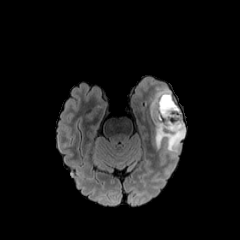
FLAIR MRI.
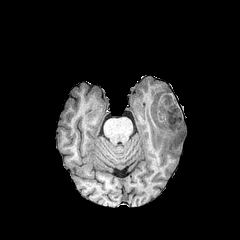
T1-weighted MR image of the same slice.
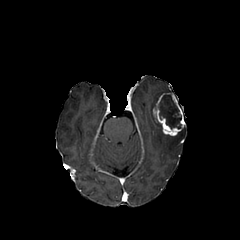
Post-contrast T1-weighted magnetic resonance.
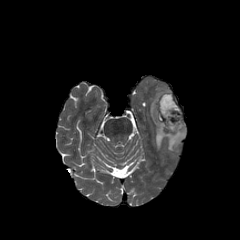
T2-weighted magnetic resonance of the same slice.
240x240; Axial plane
necrotic tumor core: bounding box region(159, 95, 181, 128)
enhancing tumor: bounding box region(152, 93, 185, 135)
peritumoral edema: bounding box region(150, 87, 185, 153)